FLAIR magnetic resonance.
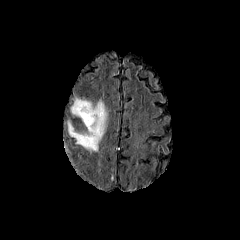
T1-weighted magnetic resonance.
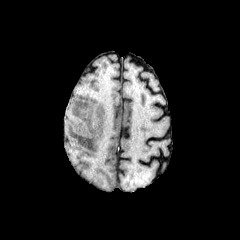
Post-contrast T1-weighted MRI.
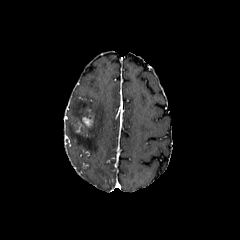
T2-weighted MRI.
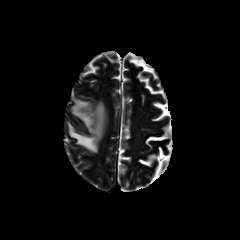
Brain
enhancing tumor — <bbox>82, 109, 93, 127</bbox>
peritumoral edema — <bbox>67, 98, 107, 152</bbox>